Axial plane.
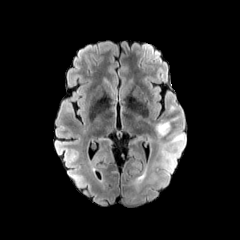
FLAIR MR image.
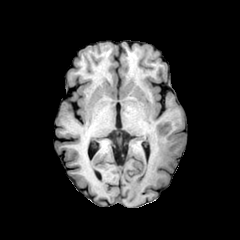
T1-weighted MR image.
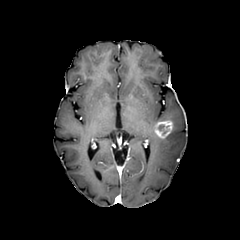
Post-contrast T1-weighted MR image.
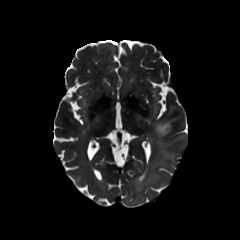
T2-weighted MR of the same slice.
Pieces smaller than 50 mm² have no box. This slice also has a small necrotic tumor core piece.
The enhancing tumor appears at bbox=[154, 120, 172, 138]. The largest peritumoral edema region is located at bbox=[156, 135, 183, 156].